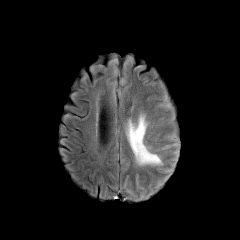
FLAIR MRI.
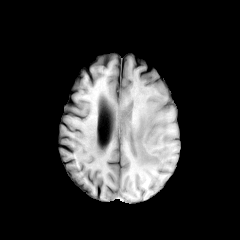
Same slice, T1-weighted MR image.
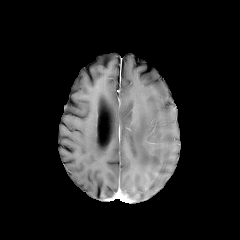
Same slice, post-contrast T1-weighted MRI.
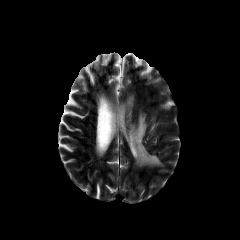
Same slice, T2-weighted MR image.
Axial slice.
{"peritumoral_edema": ["<box>127,115,161,164</box>"]}